FLAIR magnetic resonance.
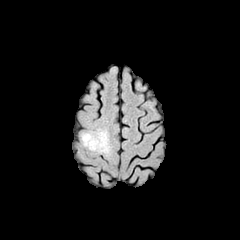
T1-weighted MR.
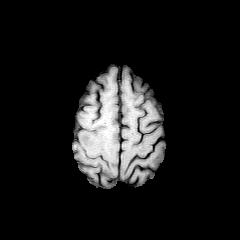
Post-contrast T1-weighted MR.
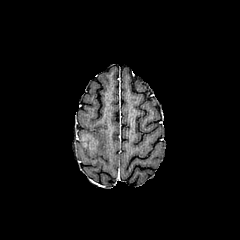
T2-weighted MR image.
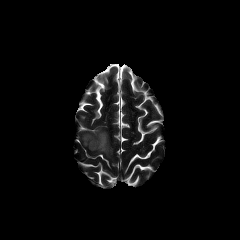
peritumoral edema: (left=78, top=126, right=110, bottom=156) | enhancing tumor: (left=81, top=134, right=99, bottom=150)